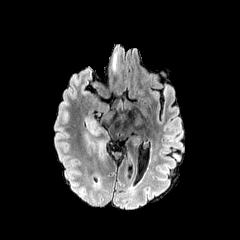
FLAIR magnetic resonance.
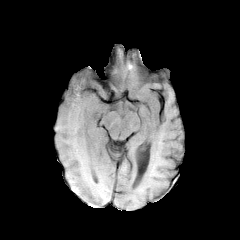
T1-weighted MR image.
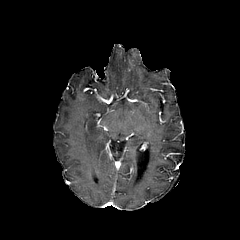
Same slice, post-contrast T1-weighted magnetic resonance.
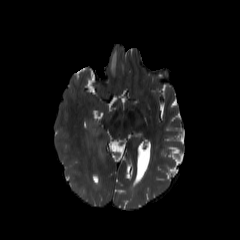
T2-weighted MR image.
Image size 240x240. Brain.
The peritumoral edema is at region(111, 52, 116, 72).